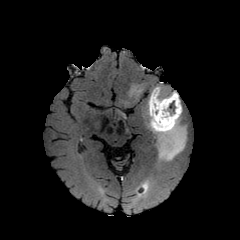
FLAIR MR.
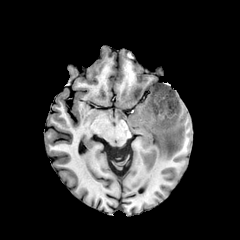
T1-weighted MR image.
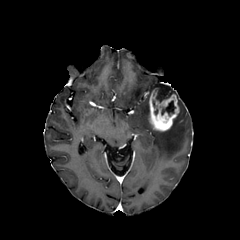
Same slice, post-contrast T1-weighted MR.
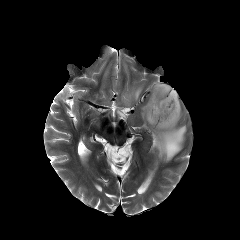
T2-weighted magnetic resonance of the same slice.
Axial view
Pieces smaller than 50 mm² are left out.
The largest necrotic tumor core region is at box(161, 101, 175, 115). The enhancing tumor is at box(148, 88, 179, 131). The 2 largest peritumoral edema regions are located at box(148, 85, 186, 161); box(128, 85, 142, 98).